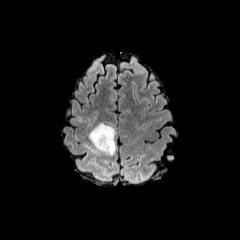
FLAIR MRI.
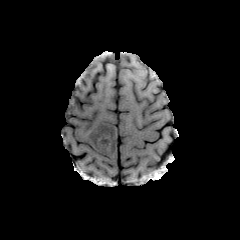
T1-weighted MRI of the same slice.
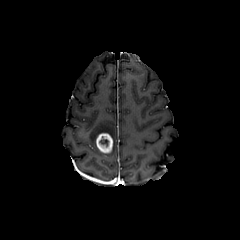
Post-contrast T1-weighted MRI of the same slice.
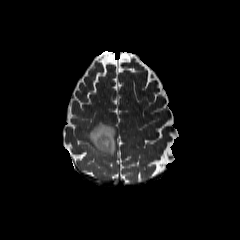
T2-weighted MRI of the same slice.
Axial slice
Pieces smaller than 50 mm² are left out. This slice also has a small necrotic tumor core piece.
{
  "peritumoral_edema": [
    "(left=83, top=123, right=116, bottom=156)"
  ],
  "enhancing_tumor": [
    "(left=95, top=133, right=113, bottom=153)"
  ]
}